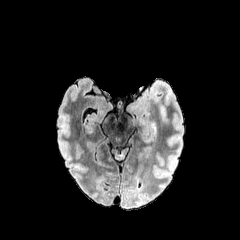
FLAIR MR.
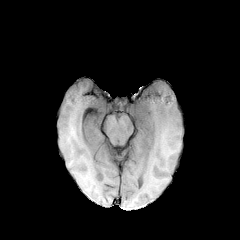
T1-weighted magnetic resonance of the same slice.
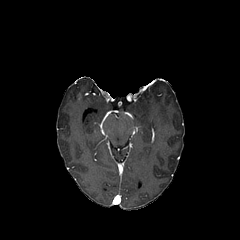
Same slice, post-contrast T1-weighted MR image.
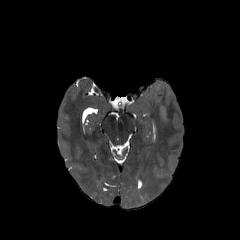
Same slice, T2-weighted MRI.
Head; Axial view
Annotated regions:
* peritumoral edema: x1=160 y1=105 x2=167 y2=121